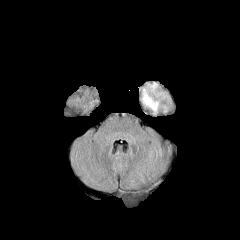
FLAIR magnetic resonance.
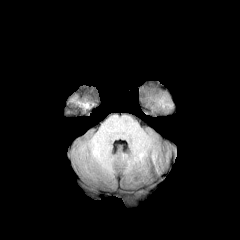
T1-weighted magnetic resonance of the same slice.
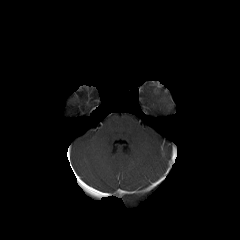
Post-contrast T1-weighted MR.
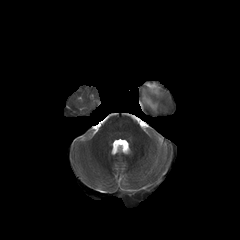
T2-weighted MR.
Axial view | Head | 240x240
enhancing_tumor:
  - x1=150 y1=82 x2=160 y2=93
peritumoral_edema:
  - x1=142 y1=83 x2=167 y2=113